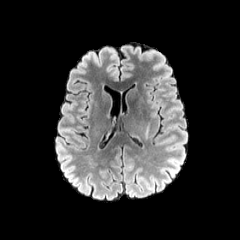
FLAIR MRI.
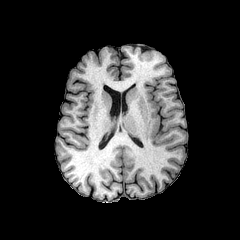
T1-weighted magnetic resonance.
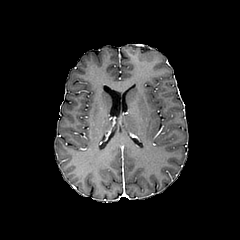
Post-contrast T1-weighted MRI.
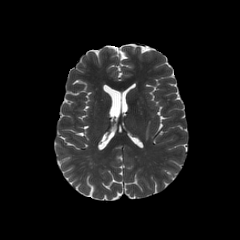
T2-weighted MRI.
240x240 px. Axial slice.
The peritumoral edema is bounded by 144 121 149 139.